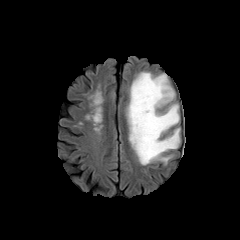
FLAIR MRI.
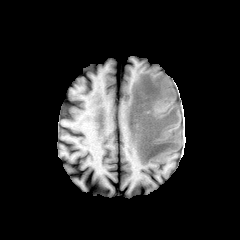
T1-weighted MR image.
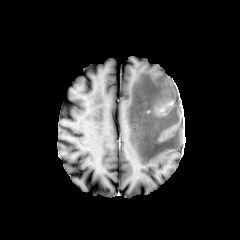
Post-contrast T1-weighted MR of the same slice.
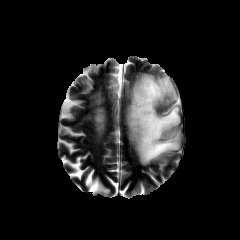
T2-weighted MRI of the same slice.
Head, Image size 240x240, Axial slice
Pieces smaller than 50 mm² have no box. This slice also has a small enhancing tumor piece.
peritumoral edema: [x1=127, y1=72, x2=180, y2=165]